240x240 px
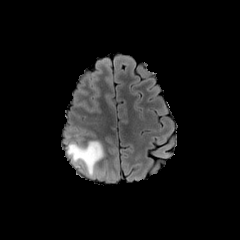
FLAIR MR image.
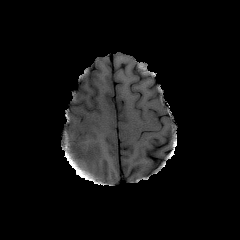
T1-weighted magnetic resonance.
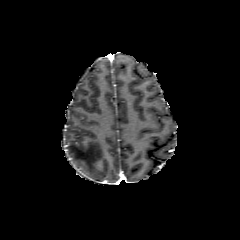
Post-contrast T1-weighted magnetic resonance.
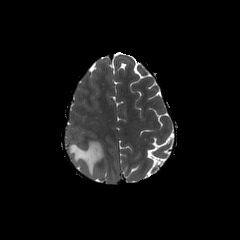
T2-weighted MRI.
<segmentation>
  <peritumoral_edema>(67,140,103,177)</peritumoral_edema>
</segmentation>